Head, Image width 240 mm, 1.00 mm slice spacing
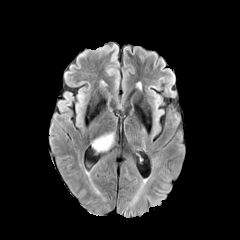
FLAIR MR image.
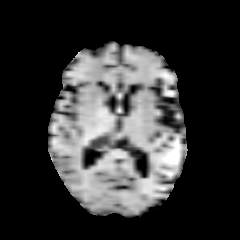
T1-weighted MR image.
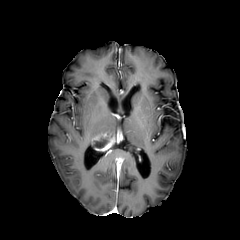
Same slice, post-contrast T1-weighted magnetic resonance.
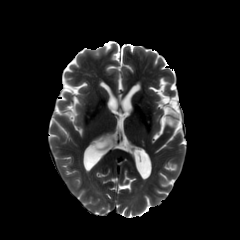
Same slice, T2-weighted MR image.
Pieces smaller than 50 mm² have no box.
Segmented structures:
* necrotic tumor core: region(95, 138, 107, 147)
* enhancing tumor: region(92, 132, 115, 152)